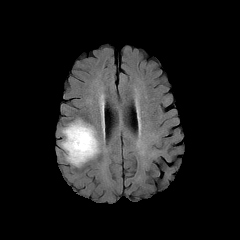
FLAIR magnetic resonance.
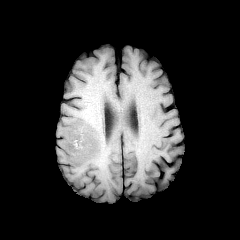
T1-weighted MR image of the same slice.
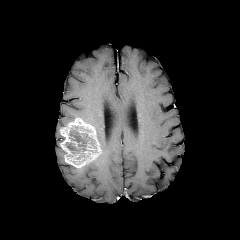
Post-contrast T1-weighted MR of the same slice.
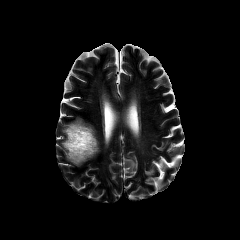
T2-weighted MR.
Axial plane, Head
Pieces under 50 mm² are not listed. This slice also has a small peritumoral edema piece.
enhancing_tumor:
  - [x1=60, y1=118, x2=101, y2=167]
necrotic_tumor_core:
  - [x1=65, y1=126, x2=95, y2=159]